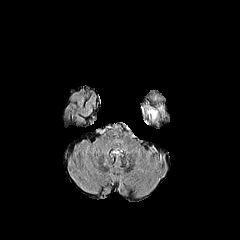
FLAIR MR.
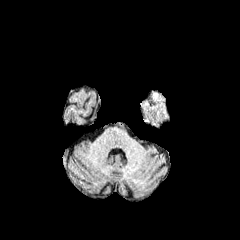
T1-weighted MRI.
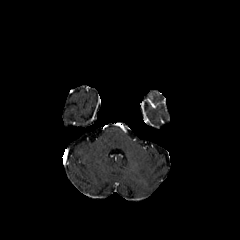
Post-contrast T1-weighted MR.
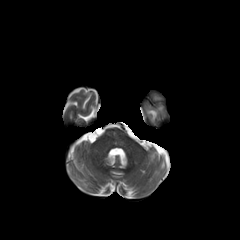
T2-weighted MR image.
Image size 240x240; Axial plane; Head
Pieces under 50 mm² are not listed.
peritumoral_edema:
  - [147,109,157,119]